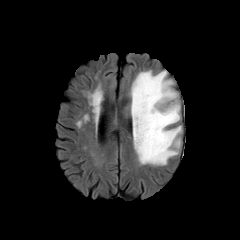
FLAIR MR.
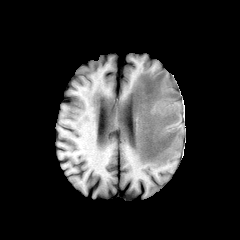
T1-weighted magnetic resonance.
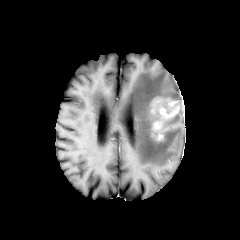
Post-contrast T1-weighted magnetic resonance.
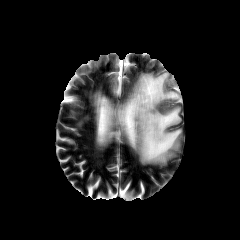
T2-weighted MR image.
Head
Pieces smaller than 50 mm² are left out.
enhancing tumor: bounding box region(152, 107, 178, 140); region(151, 99, 161, 113)
peritumoral edema: bounding box region(130, 70, 182, 165)